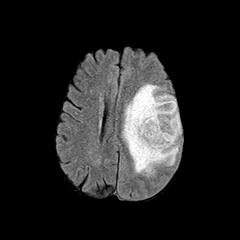
FLAIR MR image.
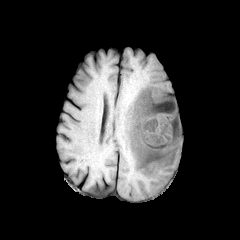
T1-weighted MR of the same slice.
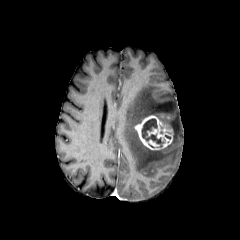
Same slice, post-contrast T1-weighted magnetic resonance.
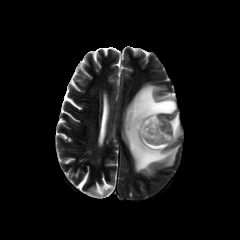
T2-weighted magnetic resonance.
Axial view | Brain
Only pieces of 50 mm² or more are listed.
peritumoral_edema:
  - left=122, top=83, right=181, bottom=176
necrotic_tumor_core:
  - left=142, top=118, right=163, bottom=146
enhancing_tumor:
  - left=135, top=115, right=173, bottom=150